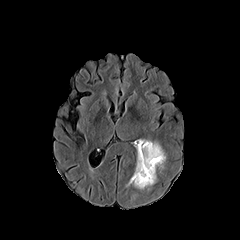
FLAIR MRI.
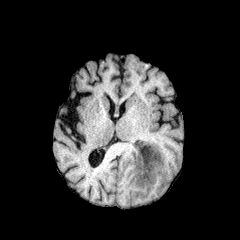
T1-weighted MR image.
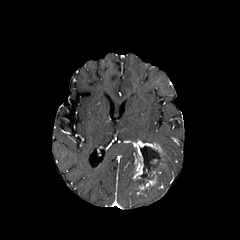
Post-contrast T1-weighted MR.
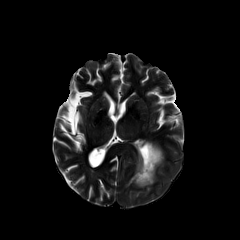
Same slice, T2-weighted MR image.
Head
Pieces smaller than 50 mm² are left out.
{"enhancing_tumor": ["box=[132, 140, 162, 180]", "box=[138, 170, 156, 189]"], "peritumoral_edema": ["box=[126, 178, 139, 188]"], "necrotic_tumor_core": ["box=[135, 146, 162, 184]"]}